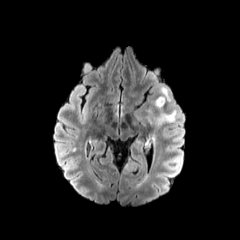
FLAIR MR image.
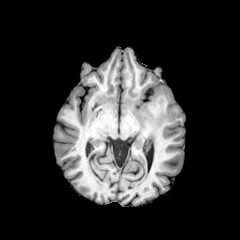
T1-weighted MR of the same slice.
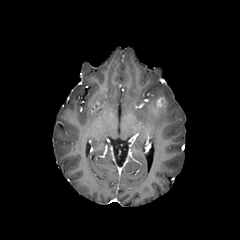
Post-contrast T1-weighted magnetic resonance.
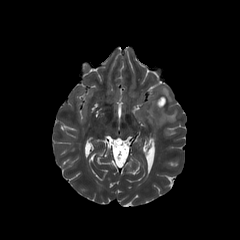
T2-weighted MRI of the same slice.
Head | Axial view
The enhancing tumor appears at region(155, 97, 165, 108). 2 peritumoral edema regions are bounded by region(148, 110, 176, 125); region(153, 86, 170, 109).